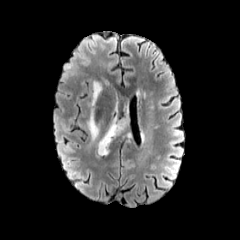
FLAIR MR image.
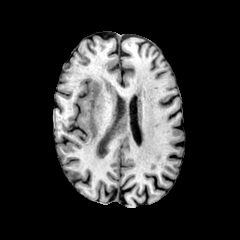
T1-weighted MRI.
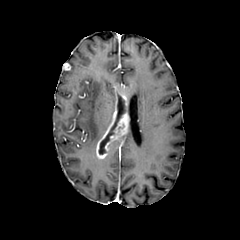
Post-contrast T1-weighted MRI.
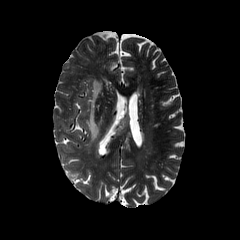
Same slice, T2-weighted MRI.
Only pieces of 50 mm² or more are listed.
necrotic tumor core: [99, 121, 118, 154] | peritumoral edema: [87, 80, 101, 143] | enhancing tumor: [96, 114, 128, 158]